Slice 118 of 155 | Image width 240 mm, 1.00 mm slice spacing | Brain | Axial slice
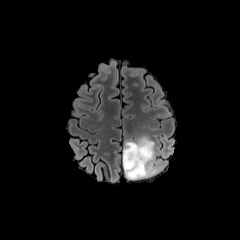
FLAIR magnetic resonance.
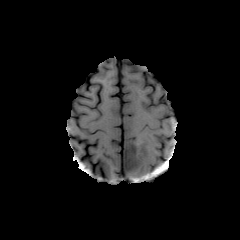
Same slice, T1-weighted MR image.
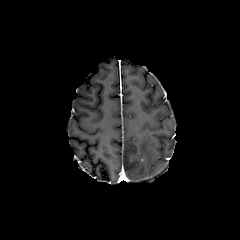
Post-contrast T1-weighted magnetic resonance.
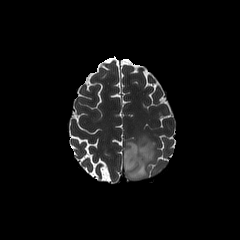
T2-weighted magnetic resonance.
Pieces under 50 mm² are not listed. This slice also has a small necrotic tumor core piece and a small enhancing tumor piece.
The peritumoral edema is located at 123 136 164 180.